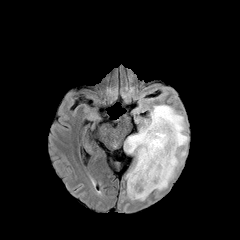
FLAIR MR.
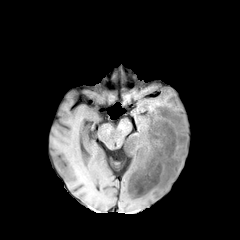
T1-weighted MR image of the same slice.
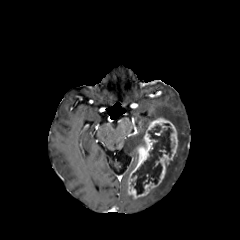
Post-contrast T1-weighted magnetic resonance.
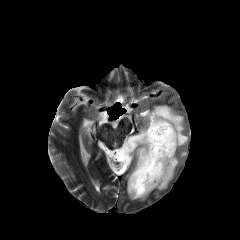
Same slice, T2-weighted magnetic resonance.
Image size 240x240 | Axial slice
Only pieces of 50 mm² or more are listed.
enhancing tumor = x1=127, y1=117, x2=178, y2=198
necrotic tumor core = x1=132, y1=123, x2=172, y2=194
peritumoral edema = x1=128, y1=194, x2=148, y2=200; x1=124, y1=105, x2=188, y2=192